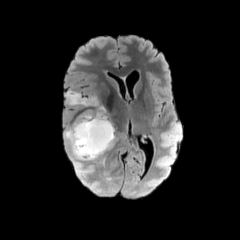
FLAIR magnetic resonance.
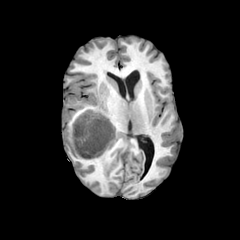
Same slice, T1-weighted MR.
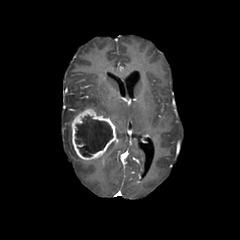
Same slice, post-contrast T1-weighted MR image.
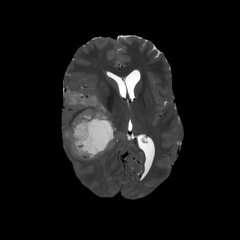
T2-weighted MR image.
Head, Axial plane, 240x240
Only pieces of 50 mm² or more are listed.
<segmentation>
  <peritumoral_edema>67 91 106 116, 65 126 80 158</peritumoral_edema>
  <necrotic_tumor_core>75 116 112 156</necrotic_tumor_core>
  <enhancing_tumor>71 108 117 160</enhancing_tumor>
</segmentation>